Slice 92/155. Head.
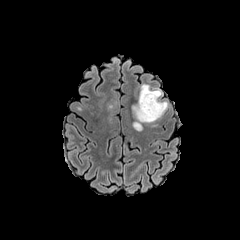
FLAIR MRI.
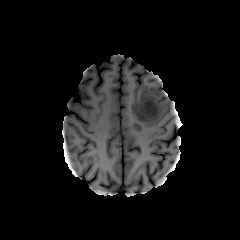
T1-weighted MR image.
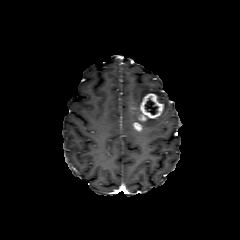
Post-contrast T1-weighted MR image.
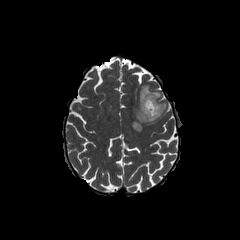
T2-weighted magnetic resonance.
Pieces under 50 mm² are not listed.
The largest peritumoral edema region is located at left=132, top=84, right=167, bottom=127. The 2 largest enhancing tumor regions are bounded by left=133, top=122, right=141, bottom=130; left=138, top=93, right=163, bottom=121. The necrotic tumor core is located at left=145, top=98, right=158, bottom=114.